Axial slice. Head.
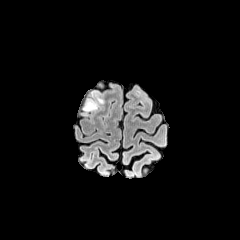
FLAIR magnetic resonance.
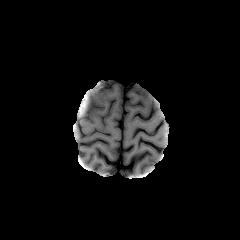
T1-weighted MR image.
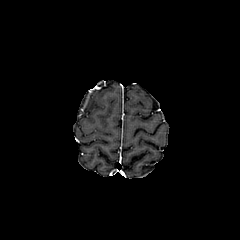
Same slice, post-contrast T1-weighted MR.
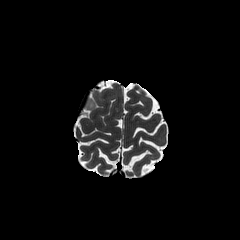
T2-weighted MR image.
<segmentation>
  <peritumoral_edema>bbox=[92, 92, 104, 103]; bbox=[83, 99, 98, 111]</peritumoral_edema>
</segmentation>